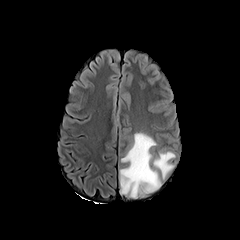
FLAIR MR.
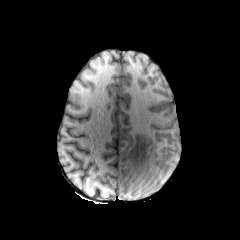
T1-weighted MRI of the same slice.
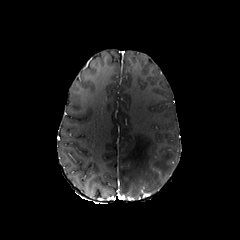
Same slice, post-contrast T1-weighted MR image.
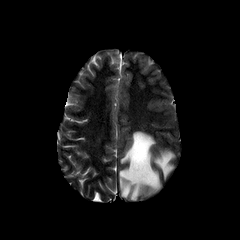
Same slice, T2-weighted MR image.
240x240; Axial view; Head
The peritumoral edema is at 119 132 175 197.